FLAIR magnetic resonance.
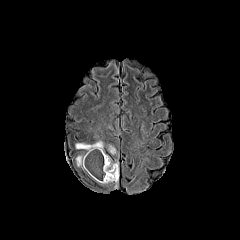
T1-weighted magnetic resonance.
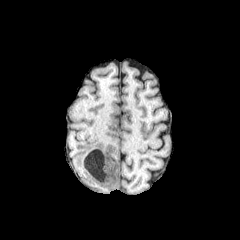
Post-contrast T1-weighted magnetic resonance.
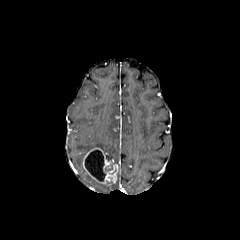
T2-weighted MRI.
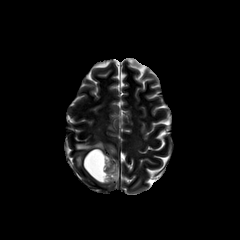
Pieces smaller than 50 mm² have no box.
enhancing tumor at region(83, 148, 118, 184)
peritumoral edema at region(75, 141, 103, 151); region(76, 155, 84, 166)
necrotic tumor core at region(85, 150, 105, 181)